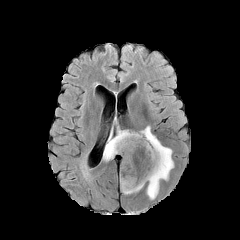
FLAIR magnetic resonance.
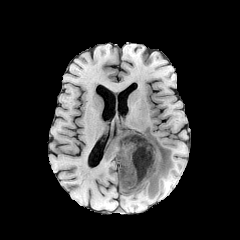
T1-weighted magnetic resonance.
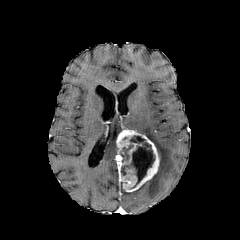
Post-contrast T1-weighted MRI.
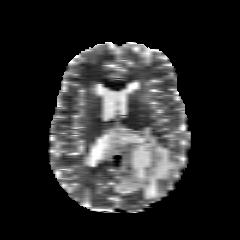
T2-weighted MR image of the same slice.
240x240 px
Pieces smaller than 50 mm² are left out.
Segmented structures:
- necrotic tumor core: (left=121, top=136, right=154, bottom=184)
- peritumoral edema: (left=118, top=145, right=132, bottom=161), (left=138, top=126, right=174, bottom=199), (left=103, top=130, right=117, bottom=161), (left=120, top=182, right=144, bottom=194)
- enhancing tumor: (left=116, top=129, right=159, bottom=192)